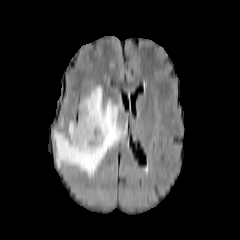
FLAIR MRI.
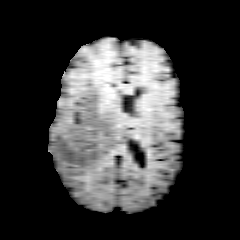
Same slice, T1-weighted MR.
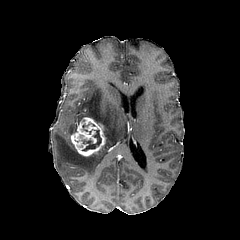
Post-contrast T1-weighted MRI.
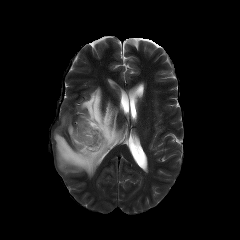
T2-weighted MR image of the same slice.
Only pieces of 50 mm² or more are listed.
The enhancing tumor is at (70, 117, 105, 156). The largest necrotic tumor core region is located at (82, 130, 101, 150). The 2 largest peritumoral edema regions are bounded by (68, 121, 76, 136), (53, 86, 126, 177).